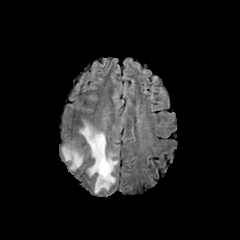
FLAIR MRI.
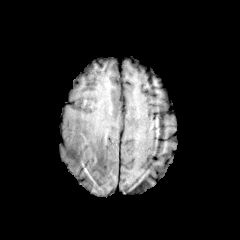
Same slice, T1-weighted MRI.
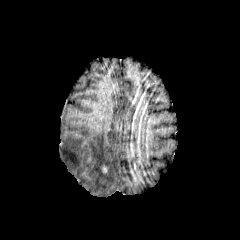
Same slice, post-contrast T1-weighted MR.
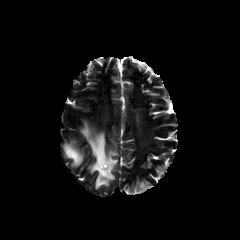
T2-weighted MR image.
Head. Axial slice. 240x240.
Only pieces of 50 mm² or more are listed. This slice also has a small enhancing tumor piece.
peritumoral edema: x1=62, y1=141, x2=83, y2=169; x1=79, y1=122, x2=117, y2=192